Axial plane, Brain
FLAIR magnetic resonance.
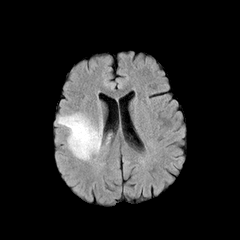
T1-weighted magnetic resonance.
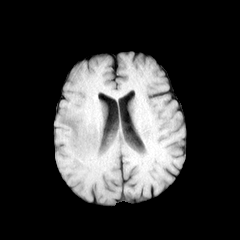
Post-contrast T1-weighted MR image.
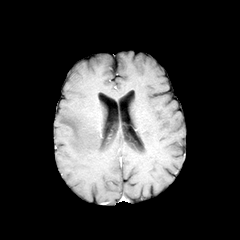
T2-weighted MRI.
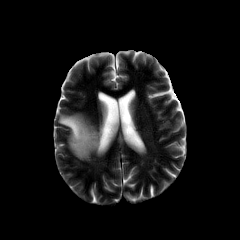
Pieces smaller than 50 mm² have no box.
Segmented structures:
- peritumoral edema: box=[58, 113, 105, 160]